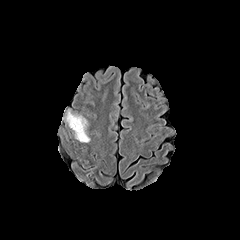
FLAIR MR.
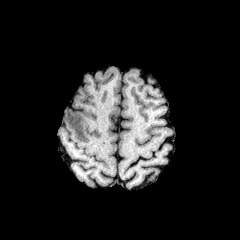
T1-weighted MR image.
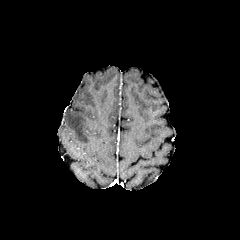
Post-contrast T1-weighted magnetic resonance of the same slice.
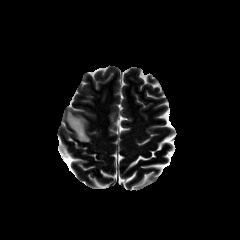
T2-weighted MRI.
Brain
The peritumoral edema is bounded by [66, 110, 90, 142].